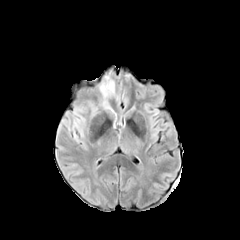
FLAIR MR image.
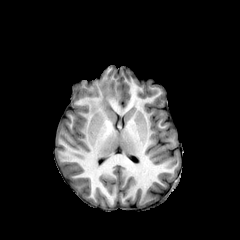
Same slice, T1-weighted MR.
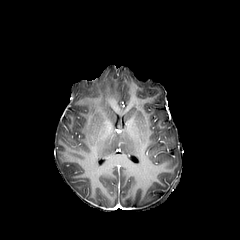
Post-contrast T1-weighted MR.
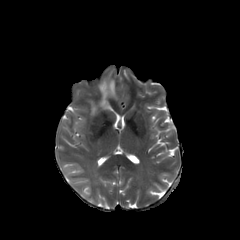
Same slice, T2-weighted MRI.
Brain
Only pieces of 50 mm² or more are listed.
The largest peritumoral edema region lies within (99,77,115,108).